FLAIR MR.
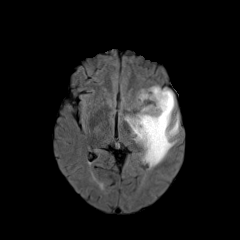
T1-weighted magnetic resonance.
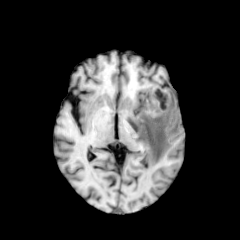
Post-contrast T1-weighted magnetic resonance.
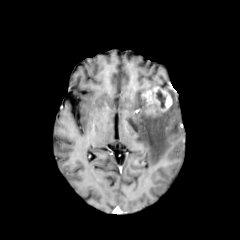
T2-weighted magnetic resonance.
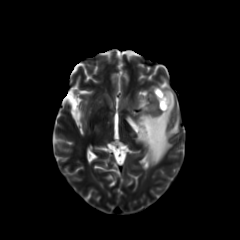
Brain; Axial plane
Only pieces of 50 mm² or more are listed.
{"peritumoral_edema": ["[126,89,178,165]"], "necrotic_tumor_core": ["[155,90,165,108]"], "enhancing_tumor": ["[140,86,171,118]"]}